FLAIR MR.
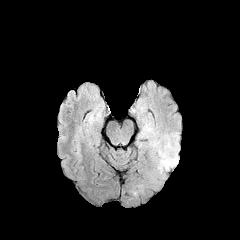
T1-weighted MR.
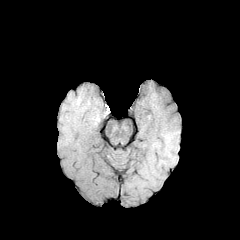
Post-contrast T1-weighted MR.
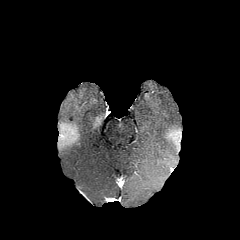
T2-weighted MR.
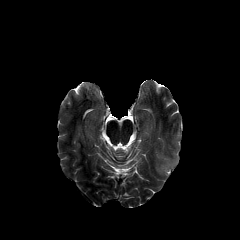
Axial slice
peritumoral edema at x1=163 y1=136 x2=178 y2=169